Image covers 240 mm x 240 mm, Axial slice, 240x240 px
FLAIR MRI.
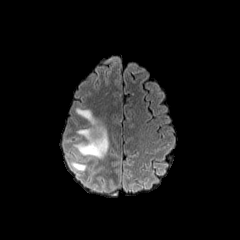
T1-weighted MR image.
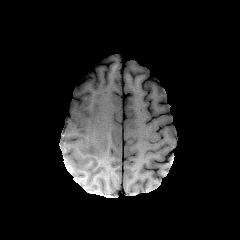
Post-contrast T1-weighted MR.
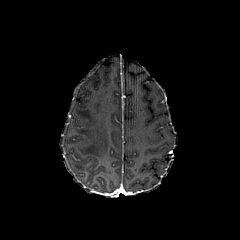
T2-weighted MR image.
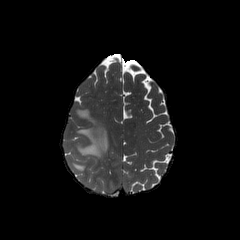
2 peritumoral edema regions are located at [70, 161, 86, 170], [74, 107, 109, 158].